240x240 px, Slice 62/155
FLAIR MR.
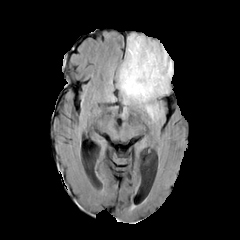
T1-weighted MRI.
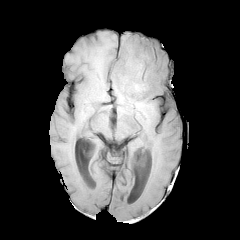
Post-contrast T1-weighted magnetic resonance.
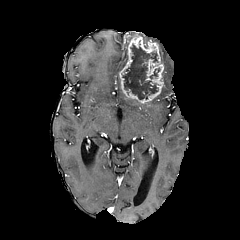
T2-weighted MR image.
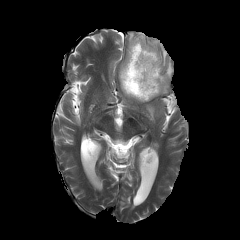
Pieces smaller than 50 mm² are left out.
necrotic tumor core — (123,45,157,99)
peritumoral edema — (118,72,141,104), (160,50,173,94), (119,49,127,71), (143,102,158,120)
enhancing tumor — (119,34,164,103)